240x240. Image width 240 mm, 1.00 mm slice spacing. Slice 92 of 155. Axial plane.
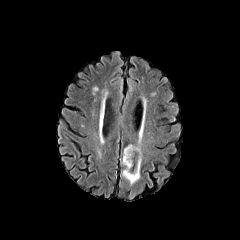
FLAIR MR image.
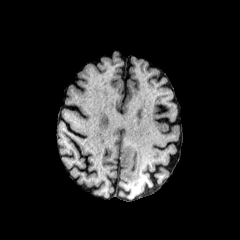
Same slice, T1-weighted MR image.
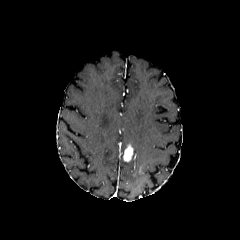
Post-contrast T1-weighted MR image of the same slice.
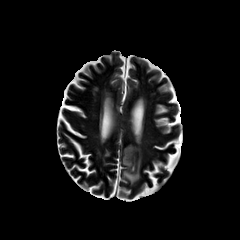
T2-weighted MR image.
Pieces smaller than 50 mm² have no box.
The enhancing tumor is at left=123, top=145, right=133, bottom=161. The largest peritumoral edema region is at left=121, top=139, right=141, bottom=185.